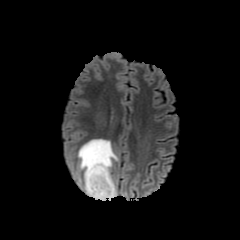
FLAIR MRI.
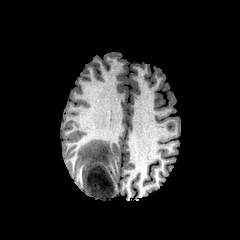
Same slice, T1-weighted MRI.
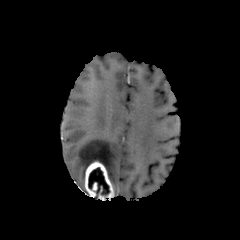
Post-contrast T1-weighted MRI of the same slice.
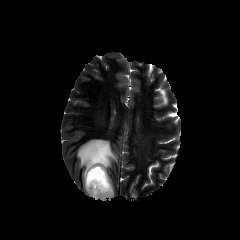
T2-weighted MR image.
Brain
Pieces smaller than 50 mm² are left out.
necrotic tumor core: bounding box 88, 167, 109, 198
enhancing tumor: bounding box 85, 161, 114, 200
peritumoral edema: bounding box 77, 139, 118, 196